FLAIR MR image.
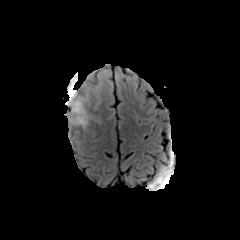
T1-weighted MR.
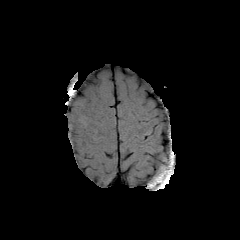
Post-contrast T1-weighted MR image.
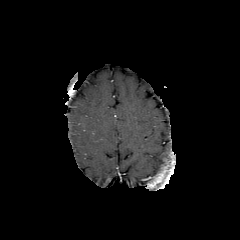
T2-weighted magnetic resonance.
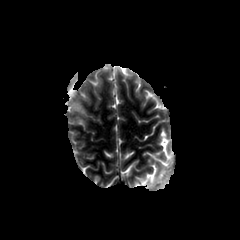
Axial view
{
  "peritumoral_edema": [
    "<bbox>65, 90, 91, 128</bbox>"
  ]
}